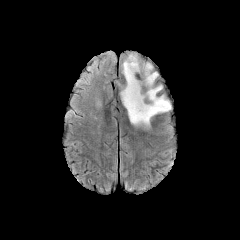
FLAIR MR image.
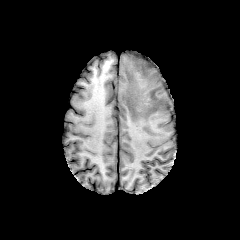
T1-weighted MRI.
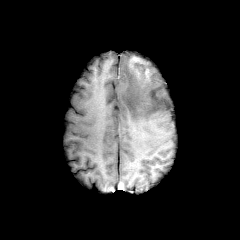
Post-contrast T1-weighted MR of the same slice.
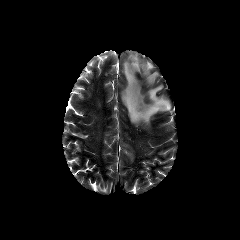
T2-weighted magnetic resonance.
Brain. Axial view.
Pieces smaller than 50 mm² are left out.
enhancing tumor: rect(130, 55, 149, 77) | peritumoral edema: rect(121, 53, 171, 125)